Slice index 82; Image covers 240 mm x 240 mm; Axial slice; 240x240 px
FLAIR MR image.
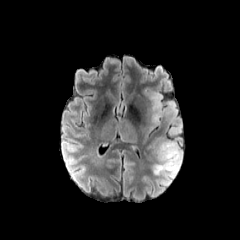
T1-weighted magnetic resonance.
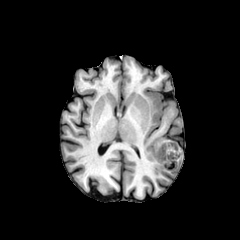
Post-contrast T1-weighted magnetic resonance.
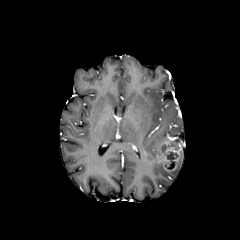
T2-weighted magnetic resonance.
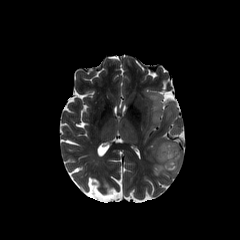
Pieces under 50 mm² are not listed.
2 peritumoral edema regions are located at rect(151, 141, 163, 159); rect(142, 88, 184, 177). The largest enhancing tumor region appears at rect(157, 141, 181, 170). The largest necrotic tumor core region is bounded by rect(165, 152, 178, 169).